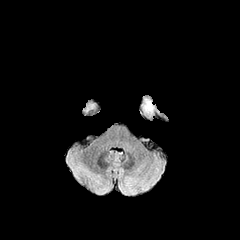
FLAIR MR.
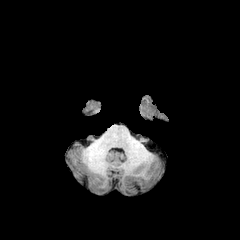
Same slice, T1-weighted MR.
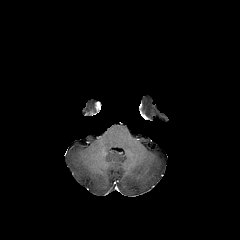
Post-contrast T1-weighted MR image of the same slice.
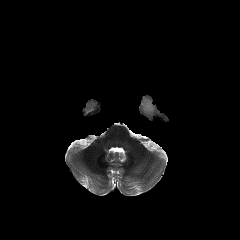
T2-weighted MRI of the same slice.
Brain; Image size 240x240; Axial plane
The peritumoral edema is at 144, 100, 153, 112.